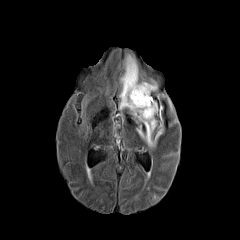
FLAIR magnetic resonance.
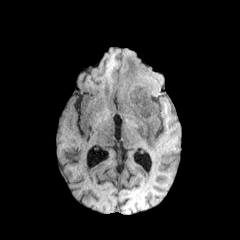
T1-weighted MRI.
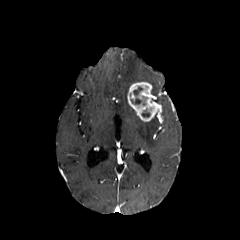
Post-contrast T1-weighted MR of the same slice.
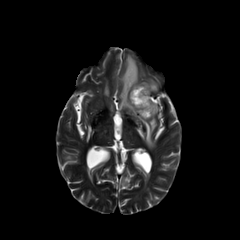
T2-weighted MRI of the same slice.
Axial view, Head
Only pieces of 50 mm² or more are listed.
The largest enhancing tumor region is located at 127,81,162,121. The largest necrotic tumor core region appears at 131,87,142,104. The 2 largest peritumoral edema regions are located at 148,79,157,91; 118,54,162,149.